FLAIR magnetic resonance.
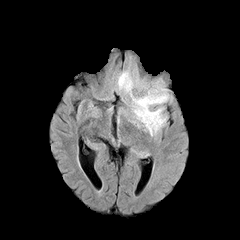
T1-weighted MRI.
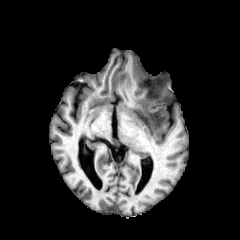
Post-contrast T1-weighted MR image.
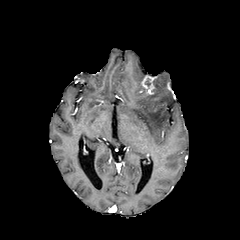
T2-weighted magnetic resonance.
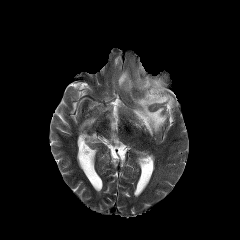
Brain. Axial slice.
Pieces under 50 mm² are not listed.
{"necrotic_tumor_core": ["box(148, 78, 161, 99)"], "peritumoral_edema": ["box(118, 68, 172, 135)"], "enhancing_tumor": ["box(141, 75, 155, 95)"]}